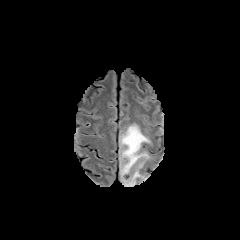
FLAIR magnetic resonance.
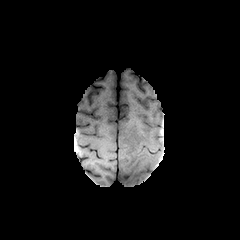
Same slice, T1-weighted MRI.
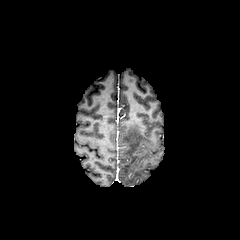
Same slice, post-contrast T1-weighted MR image.
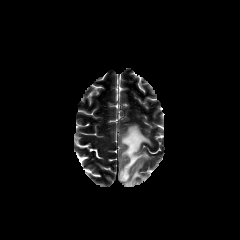
Same slice, T2-weighted magnetic resonance.
Segmented structures:
- peritumoral edema: <bbox>120, 124, 150, 186</bbox>